Brain | Image covers 240 mm x 240 mm | 240x240 px
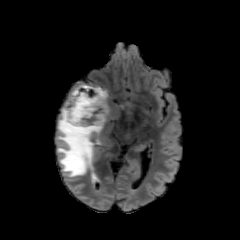
FLAIR MR.
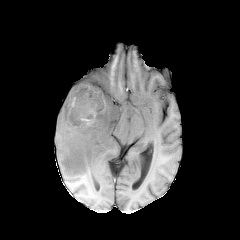
T1-weighted MR of the same slice.
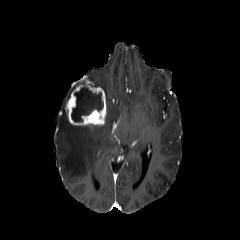
Same slice, post-contrast T1-weighted MRI.
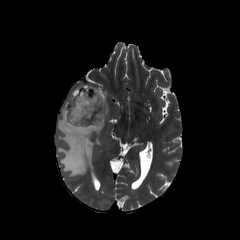
Same slice, T2-weighted MRI.
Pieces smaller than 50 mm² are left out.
necrotic tumor core at box(71, 86, 103, 121)
peritumoral edema at box(57, 86, 119, 177)
enhancing tumor at box(65, 81, 106, 127)